Axial slice | Image width 240 mm, 1.00 mm slice spacing
FLAIR MR image.
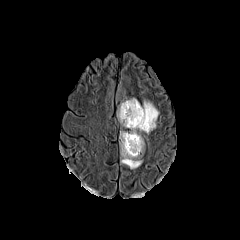
T1-weighted MRI.
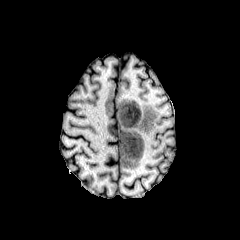
Post-contrast T1-weighted MRI.
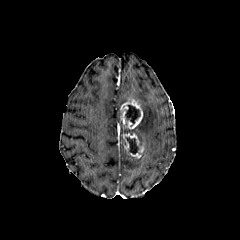
T2-weighted MR image.
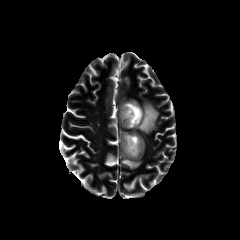
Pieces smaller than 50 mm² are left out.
necrotic_tumor_core:
  - l=126, t=137, r=138, b=154
  - l=125, t=105, r=140, b=123
enhancing_tumor:
  - l=120, t=99, r=143, b=129
  - l=121, t=133, r=144, b=157
peritumoral_edema:
  - l=130, t=101, r=158, b=146
  - l=121, t=144, r=142, b=169